Slice index 64. Brain. Axial plane. Image width 240 mm.
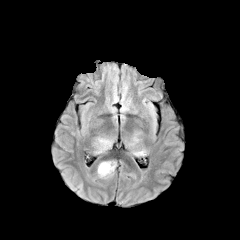
FLAIR MR image.
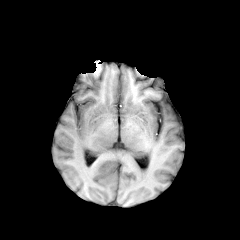
T1-weighted MR.
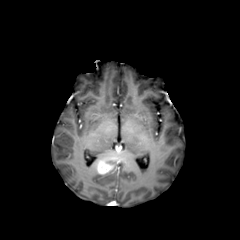
Post-contrast T1-weighted MR.
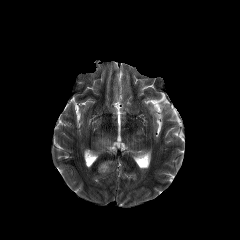
T2-weighted MRI.
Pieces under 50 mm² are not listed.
enhancing tumor at (left=97, top=161, right=113, bottom=174)
peritumoral edema at (left=98, top=138, right=111, bottom=152), (left=100, top=161, right=115, bottom=176)